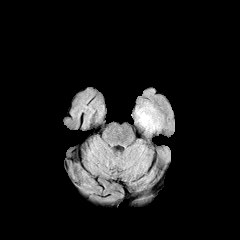
FLAIR magnetic resonance.
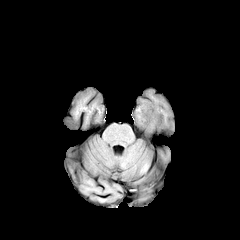
Same slice, T1-weighted magnetic resonance.
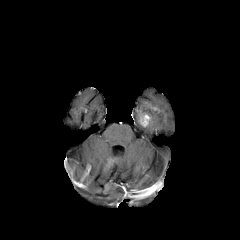
Post-contrast T1-weighted magnetic resonance.
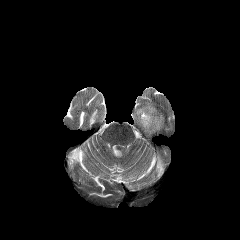
T2-weighted MR.
Image size 240x240. Brain.
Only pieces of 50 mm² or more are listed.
The largest enhancing tumor region is located at 138, 110, 152, 127. The peritumoral edema appears at 135, 102, 161, 133.